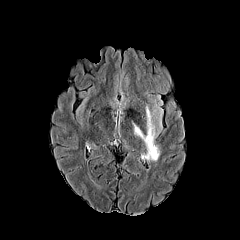
FLAIR magnetic resonance.
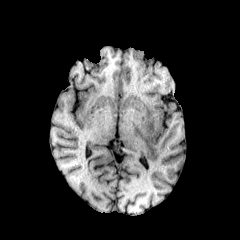
T1-weighted MRI of the same slice.
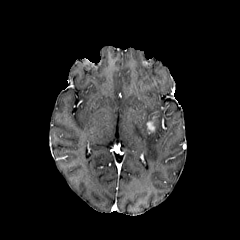
Post-contrast T1-weighted MR image.
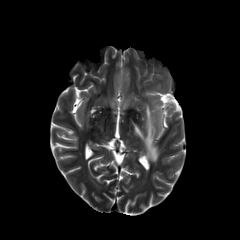
T2-weighted magnetic resonance.
Image size 240x240; Head; Axial view
enhancing_tumor:
  - (146,117,155,133)
peritumoral_edema:
  - (133,105,162,161)